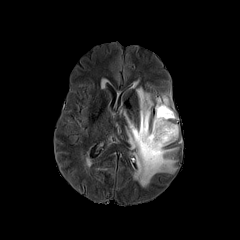
FLAIR MRI.
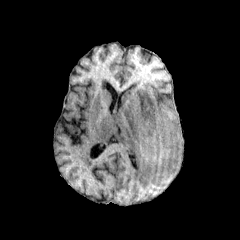
T1-weighted MR.
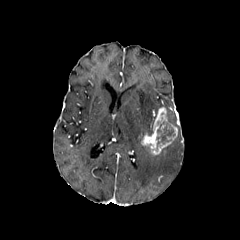
Post-contrast T1-weighted MR image of the same slice.
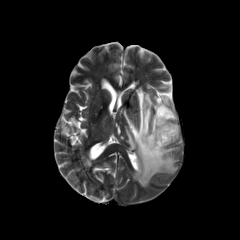
T2-weighted MRI.
240x240; Brain
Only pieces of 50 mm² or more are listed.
peritumoral edema = left=124, top=87, right=177, bottom=186; left=152, top=94, right=169, bottom=125
necrotic tumor core = left=156, top=110, right=177, bottom=145
enhancing tumor = left=141, top=107, right=177, bottom=154